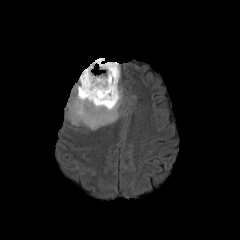
FLAIR MRI.
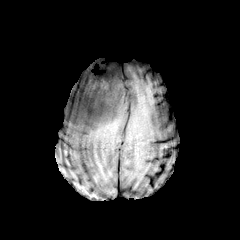
Same slice, T1-weighted MR image.
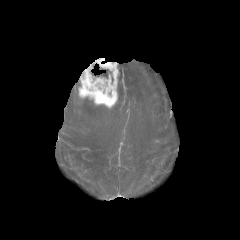
Post-contrast T1-weighted magnetic resonance.
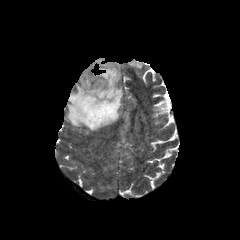
T2-weighted magnetic resonance.
Head
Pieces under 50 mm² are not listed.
Segmented structures:
* peritumoral edema: (left=66, top=63, right=124, bottom=130)
* enhancing tumor: (left=78, top=58, right=119, bottom=108)
* necrotic tumor core: (left=95, top=68, right=111, bottom=78)